FLAIR MR image.
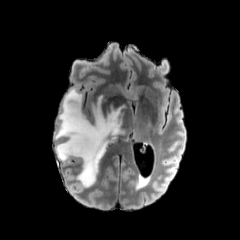
T1-weighted MR.
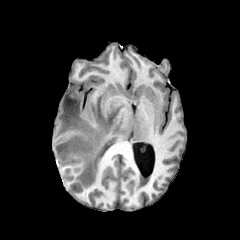
Post-contrast T1-weighted MR.
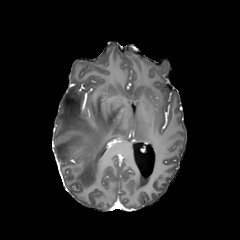
T2-weighted MR.
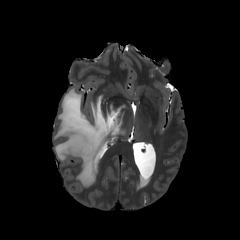
Axial view; Head
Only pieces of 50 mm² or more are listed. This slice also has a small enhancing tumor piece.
The peritumoral edema is bounded by x1=54, y1=88, x2=125, y2=187.